FLAIR MR image.
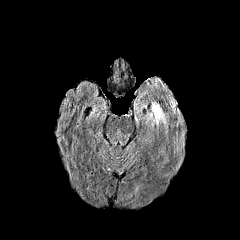
T1-weighted MR image.
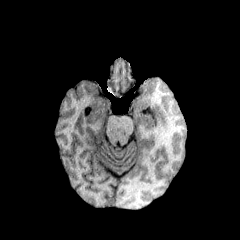
Post-contrast T1-weighted MR.
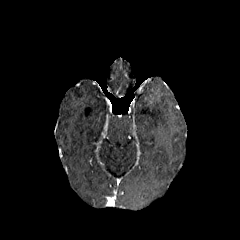
T2-weighted MRI.
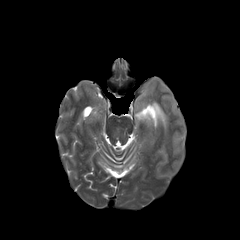
240x240 px
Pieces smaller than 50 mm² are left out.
peritumoral_edema:
  - box=[152, 102, 167, 127]